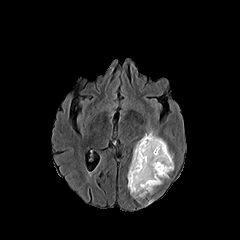
FLAIR MRI.
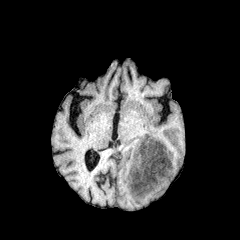
T1-weighted MR.
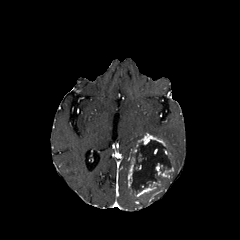
Same slice, post-contrast T1-weighted MR image.
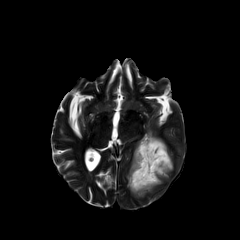
T2-weighted MR of the same slice.
Head
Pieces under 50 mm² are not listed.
<segmentation>
  <necrotic_tumor_core>131, 140, 172, 194</necrotic_tumor_core>
  <peritumoral_edema>148, 128, 159, 137</peritumoral_edema>
  <enhancing_tumor>155, 163, 173, 178; 136, 133, 166, 147; 128, 157, 135, 193; 134, 179, 162, 197</enhancing_tumor>
</segmentation>